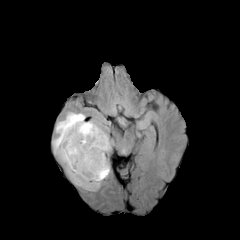
FLAIR MRI.
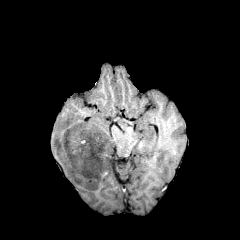
T1-weighted magnetic resonance.
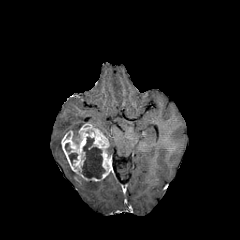
Same slice, post-contrast T1-weighted MR.
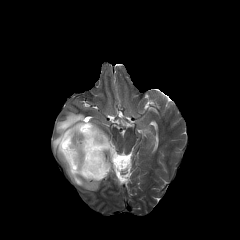
T2-weighted MR.
Head, 240x240 px
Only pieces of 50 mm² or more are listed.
enhancing tumor: bounding box left=59, top=122, right=111, bottom=181
necrotic tumor core: bounding box left=82, top=137, right=105, bottom=178; left=69, top=153, right=77, bottom=163
peritumoral edema: bounding box left=89, top=120, right=113, bottom=156; left=52, top=112, right=101, bottom=190